Axial slice; Head
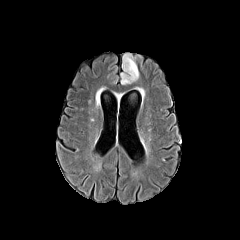
FLAIR MRI.
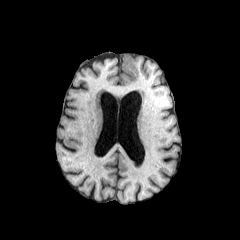
T1-weighted MRI.
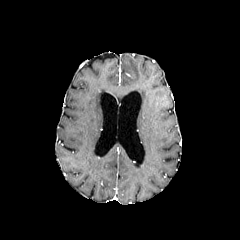
Same slice, post-contrast T1-weighted MRI.
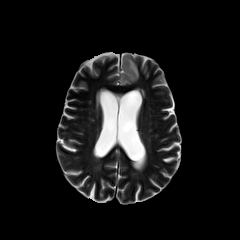
Same slice, T2-weighted magnetic resonance.
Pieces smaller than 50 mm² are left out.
* peritumoral edema: (121,53,139,84)